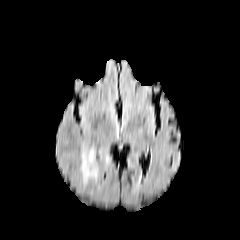
FLAIR MR.
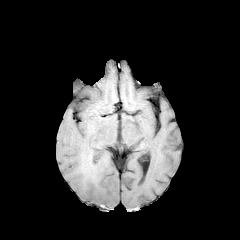
T1-weighted MR image.
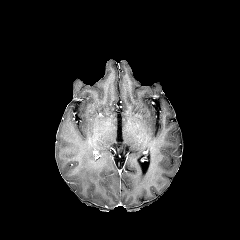
Post-contrast T1-weighted MR image.
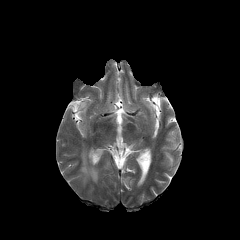
T2-weighted MR image.
Axial slice | Brain
<segmentation>
  <peritumoral_edema>(81, 149, 112, 183)</peritumoral_edema>
</segmentation>